FLAIR MR image.
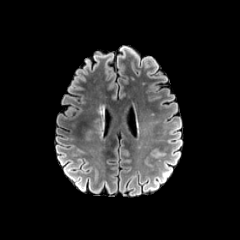
T1-weighted magnetic resonance.
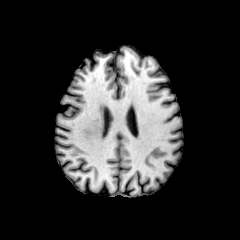
Post-contrast T1-weighted MR.
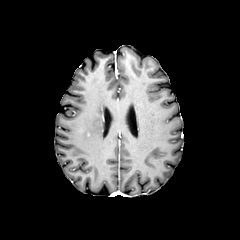
T2-weighted magnetic resonance.
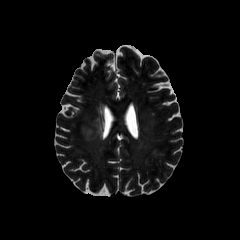
Head, Axial view, 240x240 px
{"peritumoral_edema": ["left=86, top=130, right=92, bottom=139"]}